Head, Axial view, 240x240 px
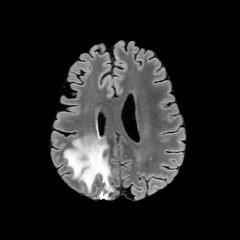
FLAIR MR.
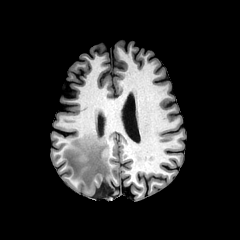
T1-weighted MR image of the same slice.
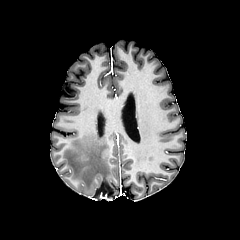
Post-contrast T1-weighted MR image.
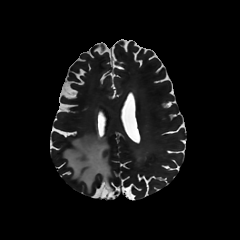
T2-weighted magnetic resonance.
The peritumoral edema is bounded by rect(63, 135, 113, 192).